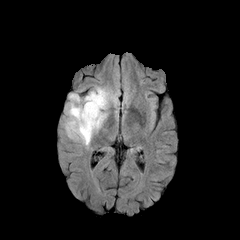
FLAIR magnetic resonance.
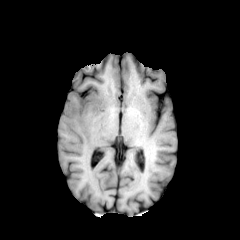
T1-weighted MRI.
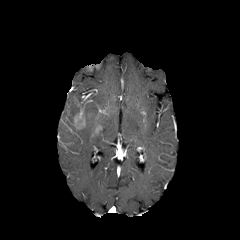
Same slice, post-contrast T1-weighted MR.
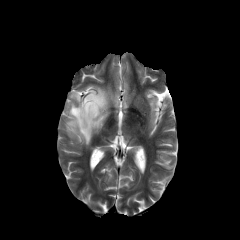
T2-weighted MR of the same slice.
enhancing tumor — [74, 109, 85, 128]
peritumoral edema — [64, 86, 117, 147]